FLAIR MR.
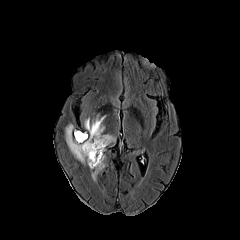
T1-weighted MR.
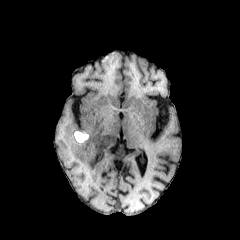
Post-contrast T1-weighted magnetic resonance.
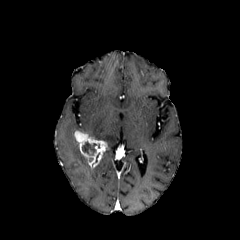
T2-weighted MR.
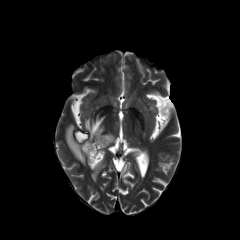
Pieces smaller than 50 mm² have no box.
enhancing tumor at [78, 136, 107, 167]
peritumoral edema at [65, 124, 88, 164], [84, 114, 115, 144], [91, 155, 105, 181]
necrotic tumor core at [82, 141, 96, 155]